Image covers 240 mm x 240 mm | Brain
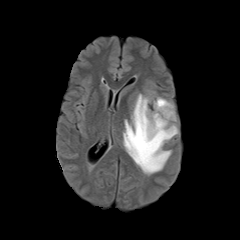
FLAIR magnetic resonance.
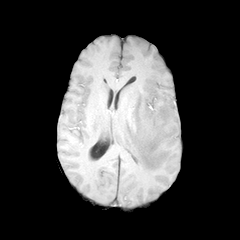
T1-weighted MR.
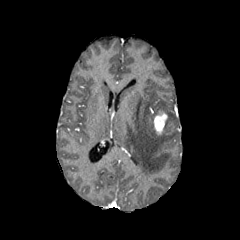
Post-contrast T1-weighted MR.
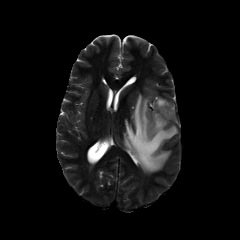
Same slice, T2-weighted MR image.
{"peritumoral_edema": ["box(123, 90, 178, 174)"], "enhancing_tumor": ["box(153, 112, 167, 134)"]}